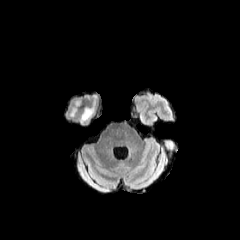
FLAIR MR image.
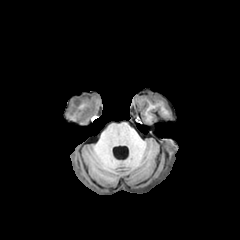
T1-weighted magnetic resonance.
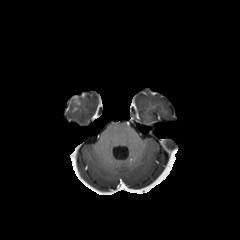
Post-contrast T1-weighted MR image.
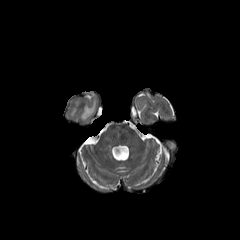
T2-weighted MRI of the same slice.
Head; Axial view
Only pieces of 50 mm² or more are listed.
The largest peritumoral edema region lies within 81,96,96,122. The largest enhancing tumor region is at 73,96,80,105.